Slice 103/155
FLAIR MR image.
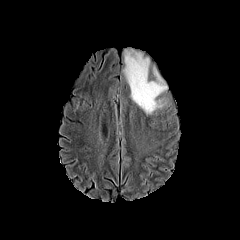
T1-weighted magnetic resonance.
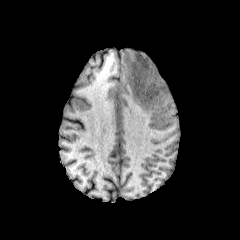
Post-contrast T1-weighted magnetic resonance.
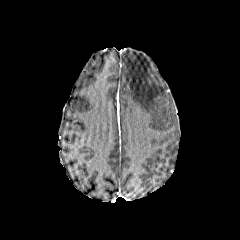
T2-weighted magnetic resonance.
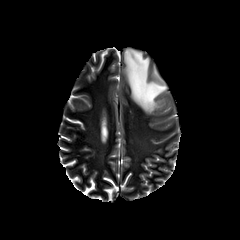
peritumoral edema: (left=122, top=48, right=168, bottom=116)